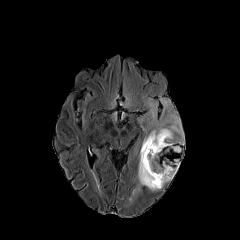
FLAIR MR image.
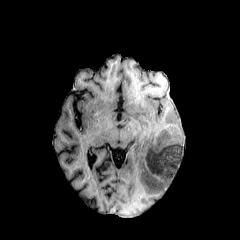
Same slice, T1-weighted MR image.
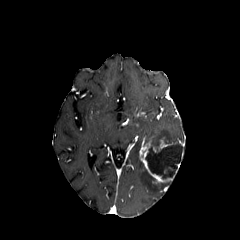
Post-contrast T1-weighted MR image of the same slice.
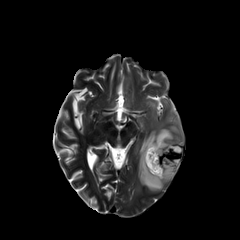
T2-weighted MR.
Brain; 240x240 px; Axial plane
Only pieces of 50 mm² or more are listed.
The 3 largest peritumoral edema regions are located at bbox(144, 118, 182, 144); bbox(150, 103, 155, 118); bbox(138, 160, 165, 190). The necrotic tumor core is located at bbox(145, 144, 182, 178). The 2 largest enhancing tumor regions are located at bbox(140, 140, 174, 184); bbox(153, 138, 176, 152).